Brain, Slice 105 of 155, Axial slice
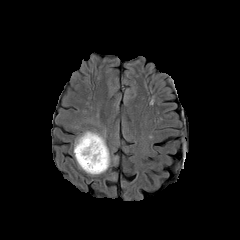
FLAIR MR image.
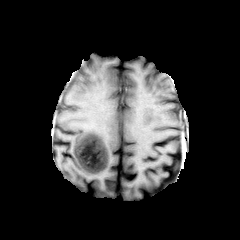
T1-weighted MR image.
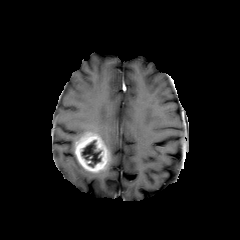
Post-contrast T1-weighted MR image.
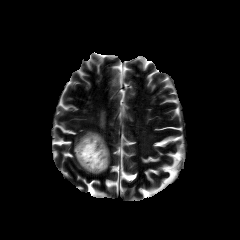
T2-weighted MR.
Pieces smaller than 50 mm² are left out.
{
  "necrotic_tumor_core": [
    "82 140 101 167"
  ],
  "peritumoral_edema": [
    "75 130 106 145",
    "73 143 110 174"
  ],
  "enhancing_tumor": [
    "75 132 110 172"
  ]
}